FLAIR MRI.
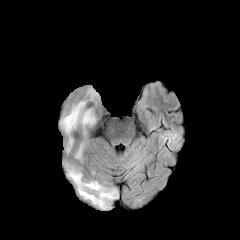
T1-weighted MR.
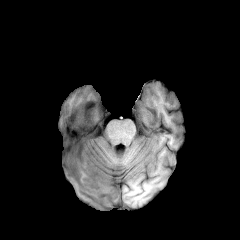
Post-contrast T1-weighted MR image.
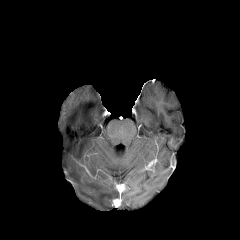
T2-weighted MR.
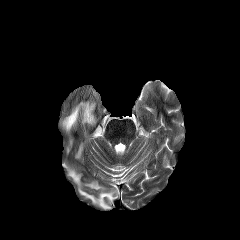
peritumoral edema — box=[65, 164, 118, 209]; box=[60, 101, 95, 132]; box=[67, 138, 72, 151]; box=[75, 142, 84, 158]